Head
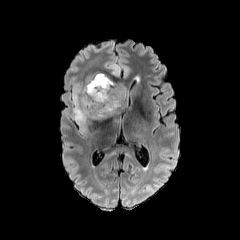
FLAIR magnetic resonance.
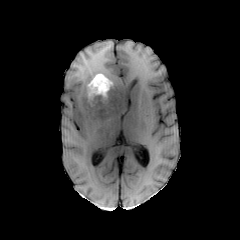
T1-weighted MRI.
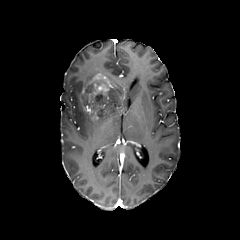
Post-contrast T1-weighted MR image.
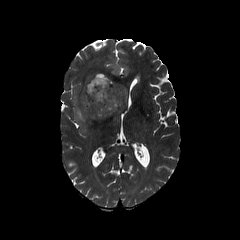
T2-weighted MRI of the same slice.
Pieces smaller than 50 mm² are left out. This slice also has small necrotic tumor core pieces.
enhancing tumor at (81,73,110,99)
peritumoral edema at (72,76,127,131), (110,63,119,75)